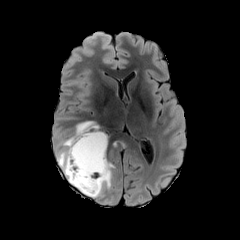
FLAIR magnetic resonance.
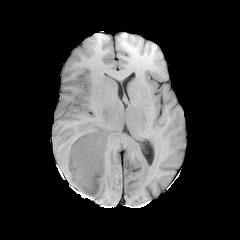
T1-weighted magnetic resonance of the same slice.
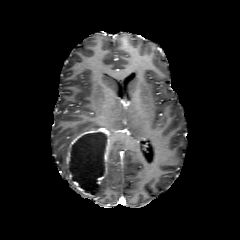
Post-contrast T1-weighted magnetic resonance.
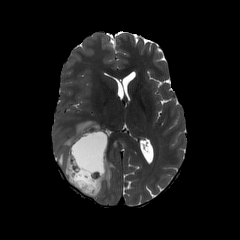
T2-weighted MRI.
Axial plane; Head
enhancing_tumor:
  - <box>69,130,99,149</box>
  - <box>97,138,110,193</box>
  - <box>65,150,95,197</box>
peritumoral_edema:
  - <box>56,121,99,182</box>
  - <box>94,161,114,197</box>
necrotic_tumor_core:
  - <box>69,132,107,195</box>